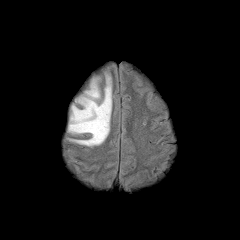
FLAIR MR image.
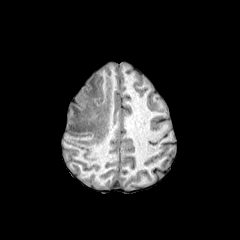
T1-weighted MRI.
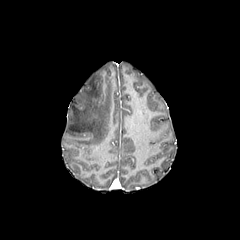
Post-contrast T1-weighted magnetic resonance.
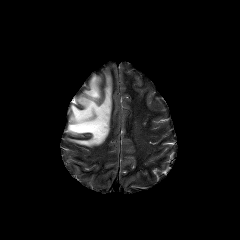
Same slice, T2-weighted magnetic resonance.
Head. Image size 240x240.
peritumoral edema: box(68, 74, 111, 146)